Image width 240 mm, 1.00 mm slice spacing
FLAIR magnetic resonance.
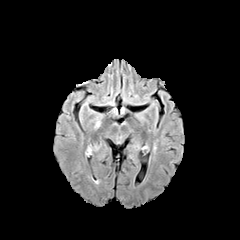
T1-weighted MR image.
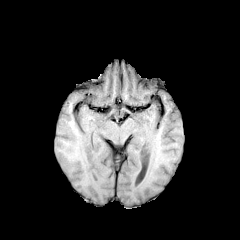
Post-contrast T1-weighted magnetic resonance.
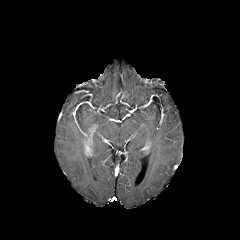
T2-weighted MR image.
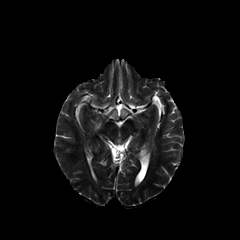
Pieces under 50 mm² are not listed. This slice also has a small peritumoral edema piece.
The enhancing tumor lies within left=86, top=140, right=92, bottom=154.